FLAIR MR image.
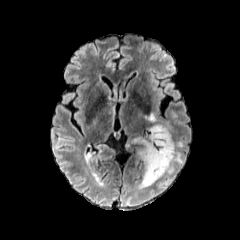
T1-weighted MRI.
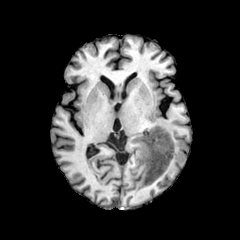
Post-contrast T1-weighted MR image.
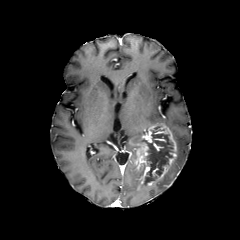
T2-weighted MR.
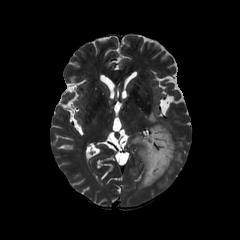
Head
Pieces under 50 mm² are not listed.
• peritumoral edema: [x1=174, y1=140, x2=186, y2=165], [x1=145, y1=113, x2=172, y2=130]
• necrotic tumor core: [x1=142, y1=131, x2=173, y2=184]
• enhancing tumor: [x1=132, y1=123, x2=177, y2=189]